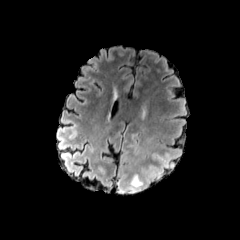
FLAIR MR.
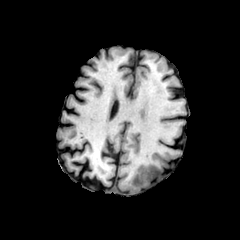
T1-weighted MR image of the same slice.
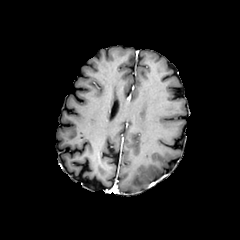
Same slice, post-contrast T1-weighted magnetic resonance.
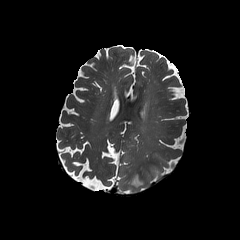
T2-weighted MRI.
240x240 px
The peritumoral edema appears at box(130, 174, 143, 191).